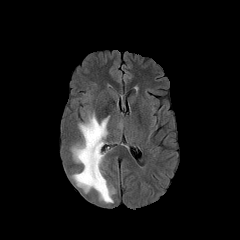
FLAIR MR.
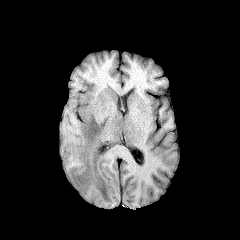
T1-weighted MR.
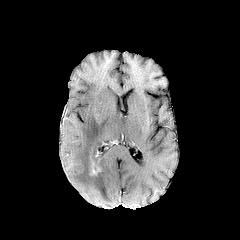
Post-contrast T1-weighted MR.
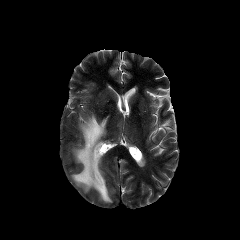
T2-weighted MRI.
Brain | 240x240 px
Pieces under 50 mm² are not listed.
peritumoral edema: {"x1": 71, "y1": 113, "x2": 114, "y2": 202}
enhancing tumor: {"x1": 91, "y1": 159, "x2": 99, "y2": 174}